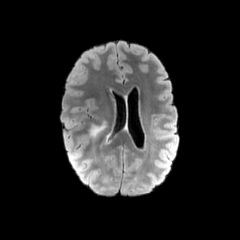
FLAIR MRI.
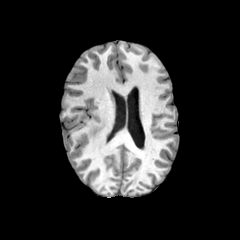
Same slice, T1-weighted magnetic resonance.
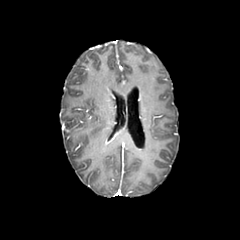
Post-contrast T1-weighted MRI.
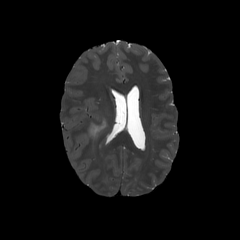
Same slice, T2-weighted magnetic resonance.
Head, Axial view
{
  "peritumoral_edema": [
    "90:122:105:137"
  ]
}